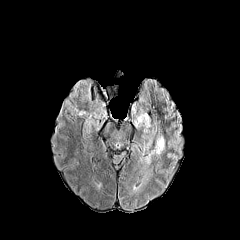
FLAIR MR.
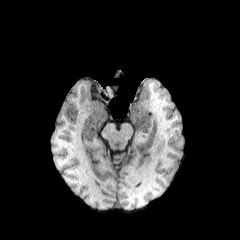
T1-weighted magnetic resonance.
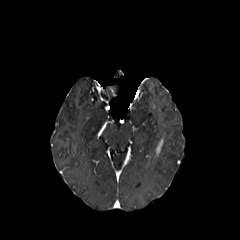
Post-contrast T1-weighted MRI.
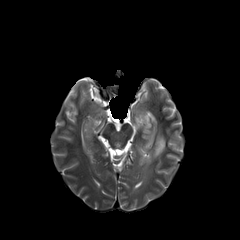
T2-weighted magnetic resonance of the same slice.
Brain
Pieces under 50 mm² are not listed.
enhancing tumor at {"x1": 155, "y1": 139, "x2": 162, "y2": 154}
peritumoral edema at {"x1": 144, "y1": 150, "x2": 155, "y2": 163}, {"x1": 137, "y1": 113, "x2": 150, "y2": 131}